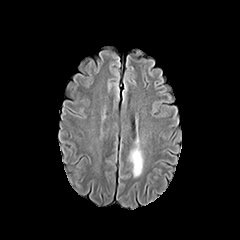
FLAIR MRI.
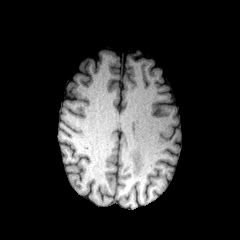
T1-weighted magnetic resonance.
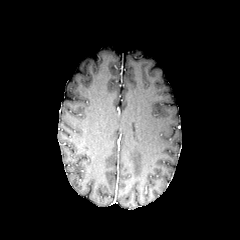
Post-contrast T1-weighted MRI.
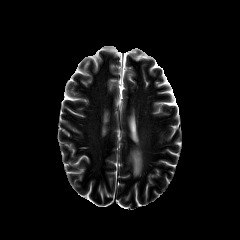
T2-weighted MR image of the same slice.
240x240 px | Brain
- peritumoral edema: <bbox>129, 141, 143, 176</bbox>